Axial slice | Head
FLAIR magnetic resonance.
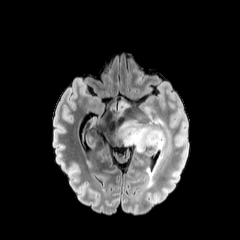
T1-weighted magnetic resonance.
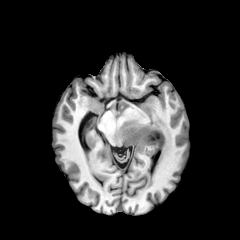
Post-contrast T1-weighted magnetic resonance.
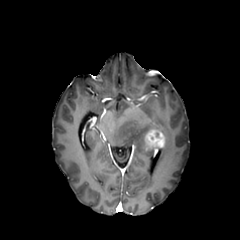
T2-weighted MRI.
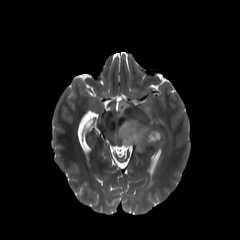
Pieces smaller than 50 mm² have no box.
peritumoral edema: <box>147,148,163,184</box>, <box>119,101,132,115</box>, <box>117,107,166,152</box> | enhancing tumor: <box>144,129,165,152</box>